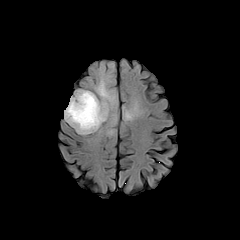
FLAIR MRI.
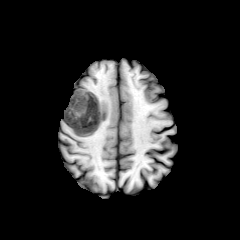
T1-weighted MR of the same slice.
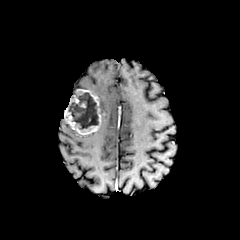
Post-contrast T1-weighted MRI.
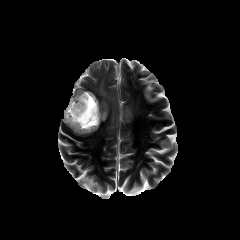
Same slice, T2-weighted MR.
240x240. Head.
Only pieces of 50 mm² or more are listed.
peritumoral edema — 94,76,116,122; 110,113,116,126; 123,104,135,121
necrotic tumor core — 69,92,98,129
enhancing tumor — 64,89,102,135